FLAIR MR image.
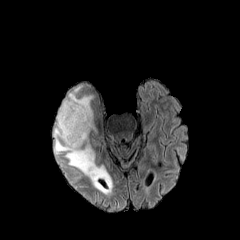
T1-weighted MR.
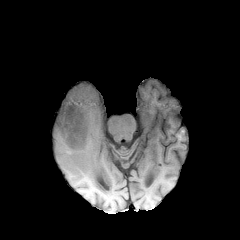
Post-contrast T1-weighted magnetic resonance.
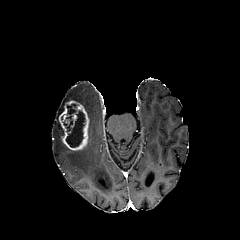
T2-weighted MR.
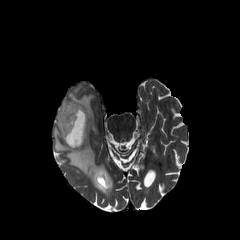
240x240.
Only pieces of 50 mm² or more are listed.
The enhancing tumor is at bbox=[58, 100, 89, 150]. The peritumoral edema is at bbox=[53, 85, 112, 195]. The 2 largest necrotic tumor core regions are bounded by bbox=[63, 110, 85, 147]; bbox=[66, 103, 76, 118].